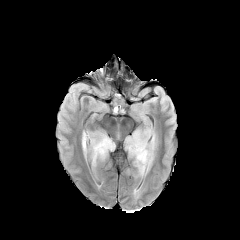
FLAIR MR.
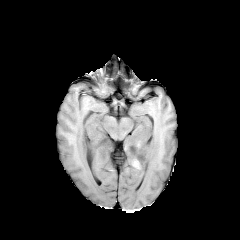
Same slice, T1-weighted MR.
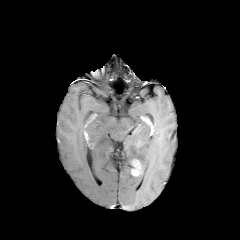
Post-contrast T1-weighted MR of the same slice.
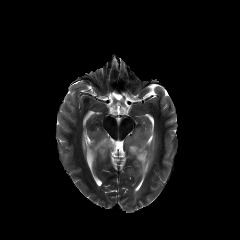
T2-weighted magnetic resonance of the same slice.
240x240; Brain
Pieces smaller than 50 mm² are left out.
Segmented structures:
• peritumoral edema: left=82, top=133, right=86, bottom=156; left=90, top=132, right=114, bottom=166; left=126, top=129, right=155, bottom=177
• enhancing tumor: left=131, top=160, right=141, bottom=176